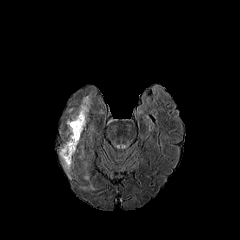
FLAIR MRI.
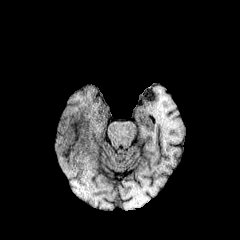
Same slice, T1-weighted MR.
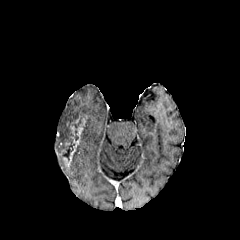
Post-contrast T1-weighted MR.
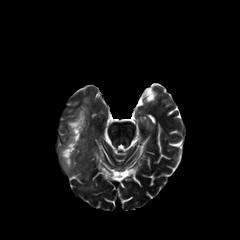
T2-weighted MRI.
Head. Axial plane. Image size 240x240.
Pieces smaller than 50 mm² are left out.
enhancing tumor = x1=63 y1=118 x2=85 y2=167
peritumoral edema = x1=59 y1=96 x2=90 y2=172
necrotic tumor core = x1=63 y1=142 x2=74 y2=160